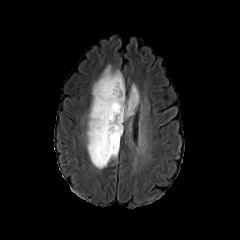
FLAIR MR.
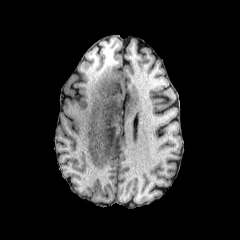
T1-weighted MR.
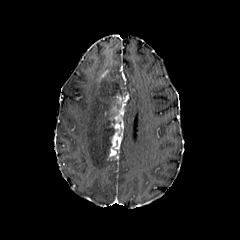
Post-contrast T1-weighted magnetic resonance.
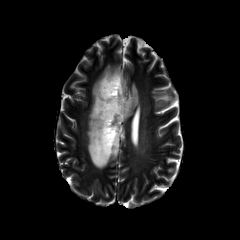
T2-weighted MRI of the same slice.
Axial plane
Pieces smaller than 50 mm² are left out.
enhancing tumor: (x1=100, y1=70, x2=109, y2=78), (x1=107, y1=89, x2=125, y2=159) | necrotic tumor core: (x1=113, y1=80, x2=123, y2=96) | peritumoral edema: (x1=123, y1=84, x2=139, y2=120), (x1=86, y1=65, x2=125, y2=169)